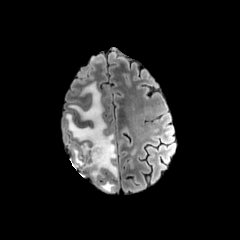
FLAIR MR.
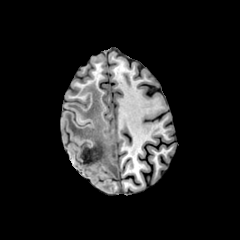
T1-weighted MR image.
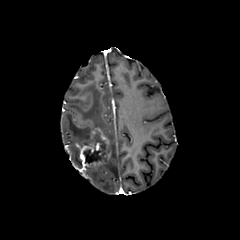
Same slice, post-contrast T1-weighted MR image.
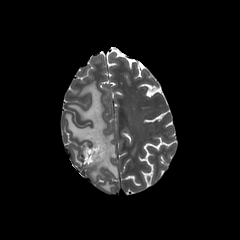
T2-weighted MRI.
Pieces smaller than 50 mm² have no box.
The necrotic tumor core is bounded by box(83, 132, 108, 163). The 2 largest peritumoral edema regions appear at box(66, 82, 117, 180); box(100, 181, 115, 192). The largest enhancing tumor region is at box(79, 128, 110, 170).